FLAIR MR image.
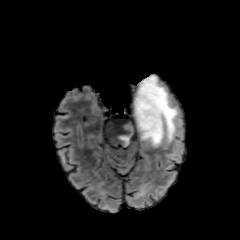
T1-weighted MRI.
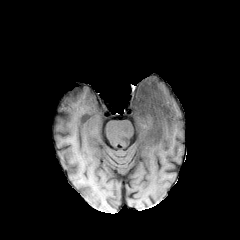
Post-contrast T1-weighted MRI.
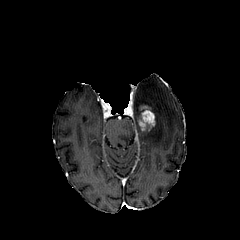
T2-weighted MRI.
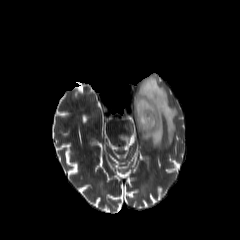
Axial view
The peritumoral edema is located at left=118, top=75, right=178, bottom=147. The enhancing tumor is at left=138, top=104, right=155, bottom=131.